Head
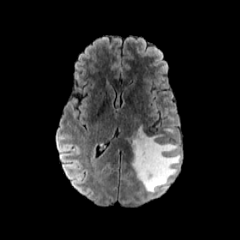
FLAIR MR image.
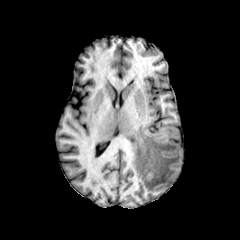
Same slice, T1-weighted MRI.
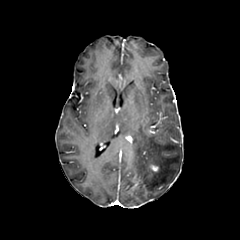
Post-contrast T1-weighted MRI of the same slice.
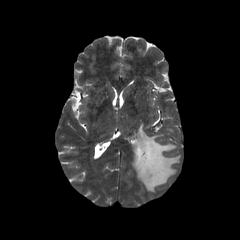
T2-weighted MR image.
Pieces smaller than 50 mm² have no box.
- peritumoral edema: (126,127,180,192)
- enhancing tumor: (147,161,159,172)